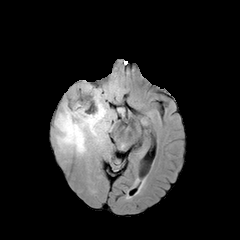
FLAIR MRI.
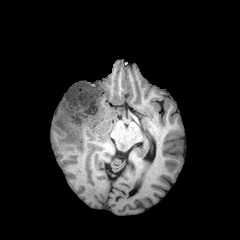
Same slice, T1-weighted MRI.
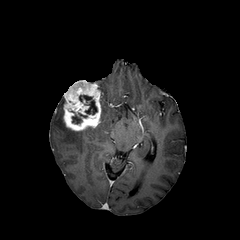
Post-contrast T1-weighted MR image of the same slice.
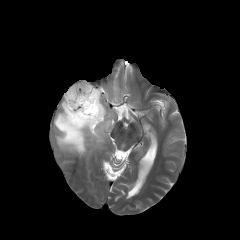
T2-weighted MR.
Axial view; 240x240
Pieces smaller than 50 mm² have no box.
The 2 largest necrotic tumor core regions are located at bbox(72, 116, 81, 123); bbox(79, 95, 97, 114). The largest peritumoral edema region appears at bbox(54, 84, 118, 155). The enhancing tumor appears at bbox(63, 80, 101, 131).